Slice index 72; Image covers 240 mm x 240 mm; Axial plane; Brain
FLAIR MR image.
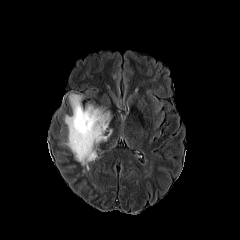
T1-weighted MR.
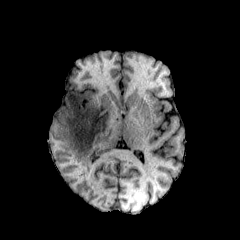
Post-contrast T1-weighted magnetic resonance.
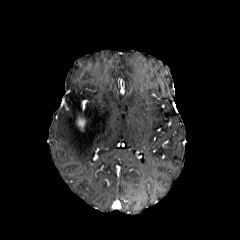
T2-weighted MR image.
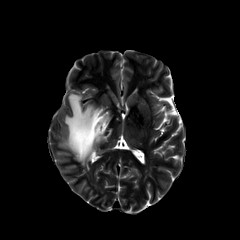
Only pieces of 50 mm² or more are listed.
enhancing_tumor:
  - 76,115,86,130
peritumoral_edema:
  - 61,93,112,170